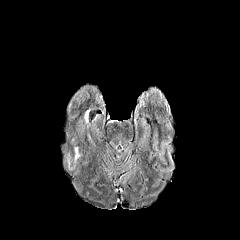
FLAIR MR image.
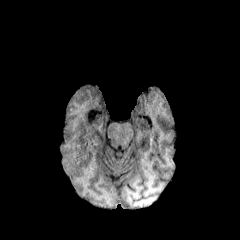
T1-weighted MRI.
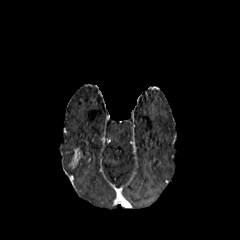
Post-contrast T1-weighted MR image of the same slice.
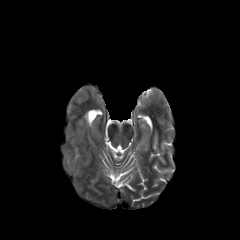
Same slice, T2-weighted MR.
Brain
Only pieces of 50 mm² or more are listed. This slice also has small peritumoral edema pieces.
The enhancing tumor lies within {"x1": 69, "y1": 147, "x2": 82, "y2": 168}.